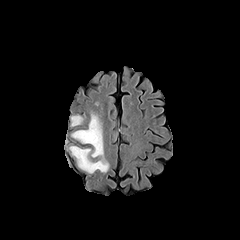
FLAIR MRI.
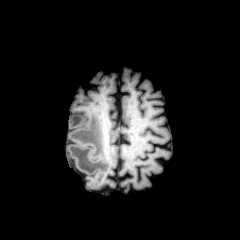
Same slice, T1-weighted MR.
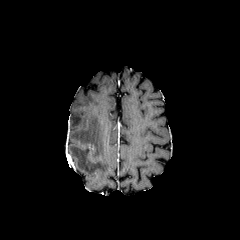
Post-contrast T1-weighted MRI.
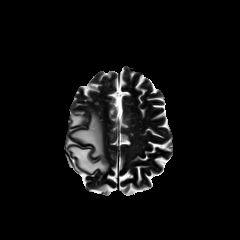
T2-weighted magnetic resonance.
Axial view. Brain.
peritumoral edema: <bbox>69, 112, 109, 173</bbox>, <bbox>71, 115, 84, 126</bbox>